FLAIR MR image.
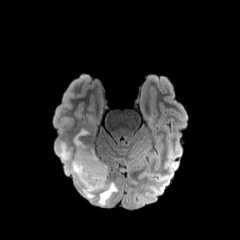
T1-weighted magnetic resonance.
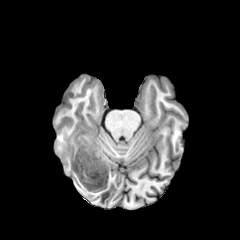
Post-contrast T1-weighted MR image.
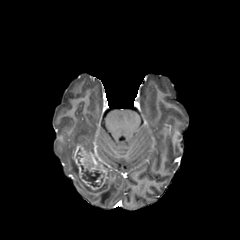
T2-weighted MR image.
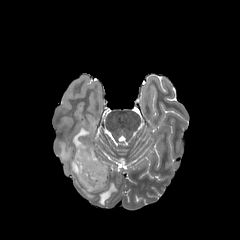
Axial view, Head
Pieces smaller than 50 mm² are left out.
{
  "necrotic_tumor_core": [
    "bbox=[80, 165, 102, 186]"
  ],
  "peritumoral_edema": [
    "bbox=[56, 128, 117, 205]"
  ],
  "enhancing_tumor": [
    "bbox=[74, 144, 107, 190]"
  ]
}